240x240 | Axial view | Slice 65/155 | Brain
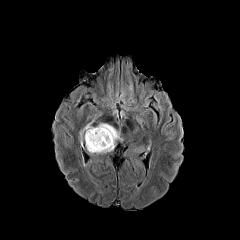
FLAIR magnetic resonance.
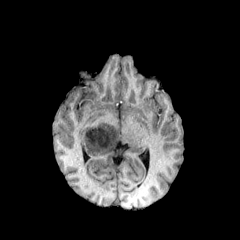
T1-weighted MRI of the same slice.
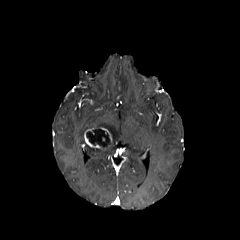
Post-contrast T1-weighted MR image of the same slice.
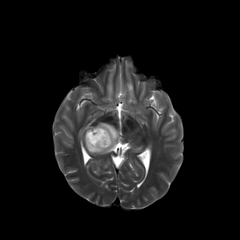
T2-weighted MR of the same slice.
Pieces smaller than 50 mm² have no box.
The largest enhancing tumor region is bounded by 84:127:112:150. 2 peritumoral edema regions are located at 79:121:93:143, 86:123:119:154. The necrotic tumor core is located at 86:128:110:147.